FLAIR MR image.
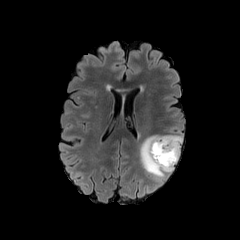
T1-weighted MR.
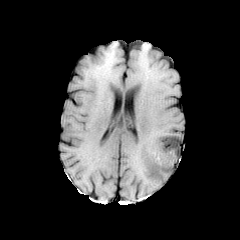
Post-contrast T1-weighted MRI.
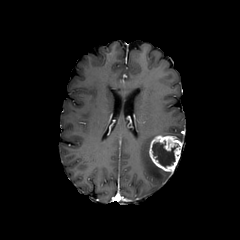
T2-weighted MR.
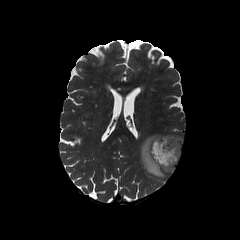
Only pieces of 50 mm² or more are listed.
peritumoral edema = region(140, 134, 171, 182)
necrotic tumor core = region(152, 141, 176, 166)
enhancing tumor = region(149, 135, 181, 172)